Image size 240x240; Image width 240 mm, 1.00 mm slice spacing; Slice index 48; Axial view
FLAIR MR image.
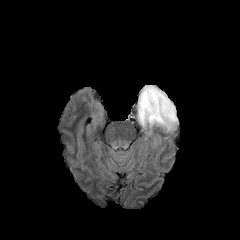
T1-weighted MRI.
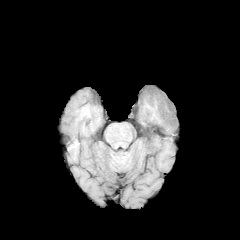
Post-contrast T1-weighted MRI.
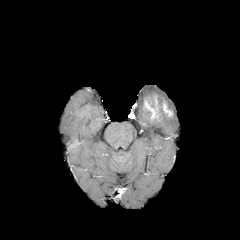
T2-weighted magnetic resonance.
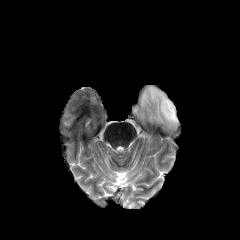
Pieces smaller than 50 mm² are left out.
enhancing_tumor:
  - l=144, t=97, r=172, b=119
peritumoral_edema:
  - l=137, t=85, r=178, b=131